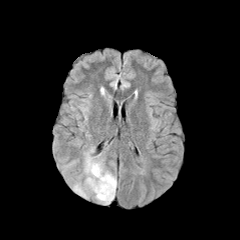
FLAIR MR image.
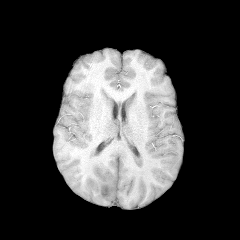
T1-weighted MR.
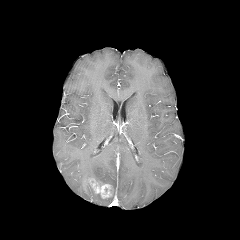
Post-contrast T1-weighted MR image.
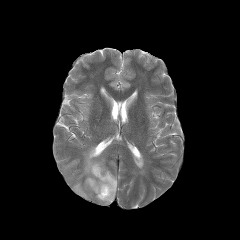
T2-weighted magnetic resonance.
Brain | Axial plane
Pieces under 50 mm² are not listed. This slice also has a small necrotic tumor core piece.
enhancing_tumor:
  - l=88, t=178, r=113, b=198
peritumoral_edema:
  - l=72, t=147, r=116, b=204